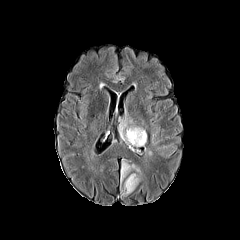
FLAIR MR.
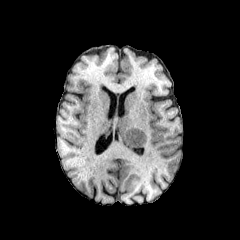
T1-weighted MR.
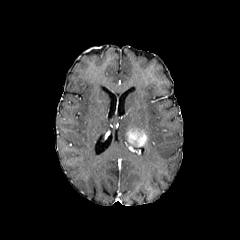
Same slice, post-contrast T1-weighted MRI.
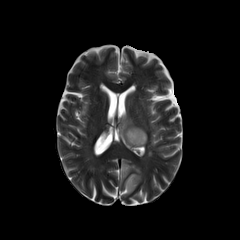
Same slice, T2-weighted magnetic resonance.
Brain. Axial plane.
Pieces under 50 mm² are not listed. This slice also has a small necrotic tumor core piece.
enhancing tumor — (left=126, top=128, right=147, bottom=147)
peritumoral edema — (left=123, top=173, right=141, bottom=196), (left=118, top=118, right=143, bottom=145), (left=120, top=158, right=141, bottom=183)